FLAIR MR image.
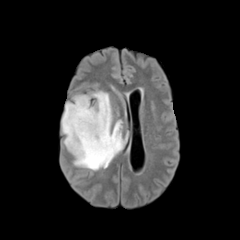
T1-weighted MR.
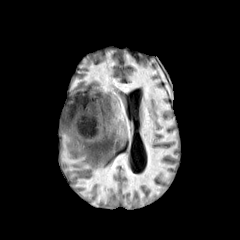
Post-contrast T1-weighted MR image.
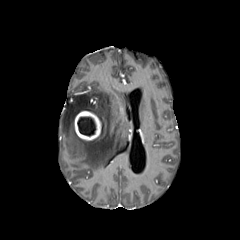
T2-weighted MR.
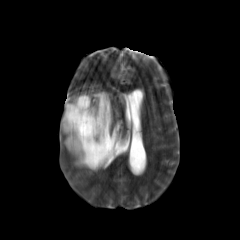
Brain | 240x240 px | Axial view
<segmentation>
  <enhancing_tumor>bbox(74, 111, 100, 140)</enhancing_tumor>
  <peritumoral_edema>bbox(61, 91, 126, 170)</peritumoral_edema>
  <necrotic_tumor_core>bbox(77, 117, 95, 135)</necrotic_tumor_core>
</segmentation>